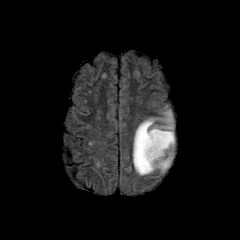
FLAIR MR.
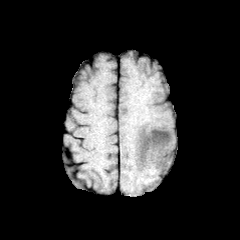
T1-weighted magnetic resonance.
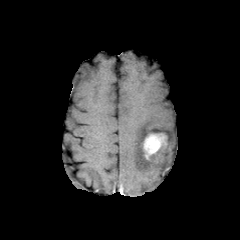
Same slice, post-contrast T1-weighted MR image.
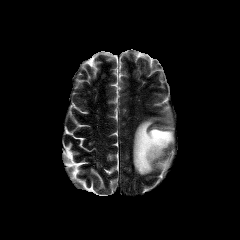
T2-weighted MR.
Axial view | Head
Annotated regions:
* enhancing tumor: x1=142, y1=132, x2=167, y2=161
* peritumoral edema: x1=132, y1=109, x2=174, y2=175